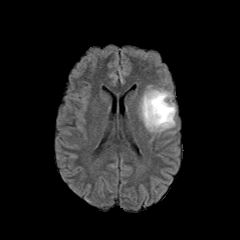
FLAIR magnetic resonance.
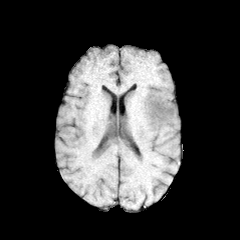
T1-weighted magnetic resonance.
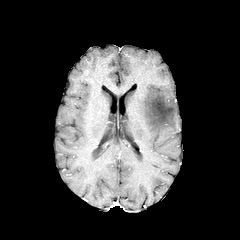
Post-contrast T1-weighted MR image.
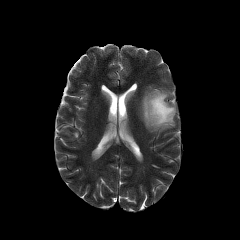
T2-weighted magnetic resonance.
The peritumoral edema lies within left=140, top=89, right=175, bottom=131.